Axial slice; Brain; Image covers 240 mm x 240 mm
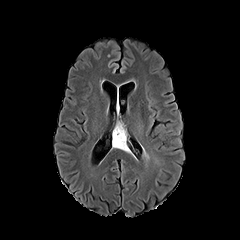
FLAIR MR image.
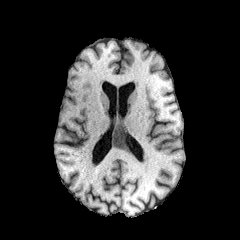
Same slice, T1-weighted MR.
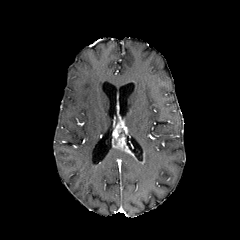
Post-contrast T1-weighted MRI of the same slice.
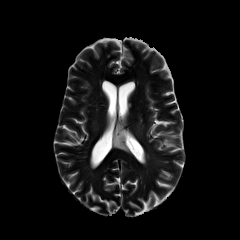
T2-weighted MR image.
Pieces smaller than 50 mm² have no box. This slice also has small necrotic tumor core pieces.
The enhancing tumor is located at x1=112, y1=121, x2=132, y2=154.